FLAIR MR.
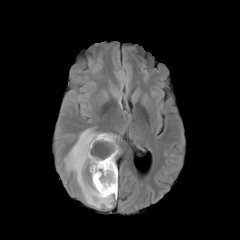
T1-weighted magnetic resonance.
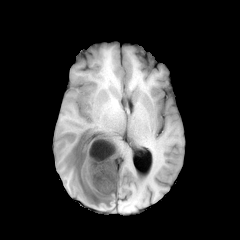
Post-contrast T1-weighted magnetic resonance.
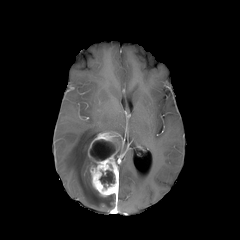
T2-weighted MR image.
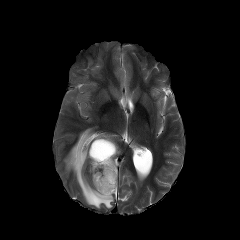
Axial plane
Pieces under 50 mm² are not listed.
2 necrotic tumor core regions appear at rect(90, 139, 115, 160); rect(99, 170, 114, 187). The enhancing tumor is located at rect(88, 132, 118, 196). The 2 largest peritumoral edema regions are located at rect(64, 128, 115, 208); rect(114, 135, 120, 159).